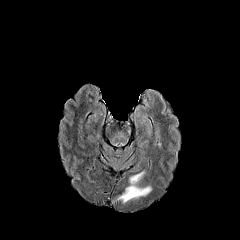
FLAIR magnetic resonance.
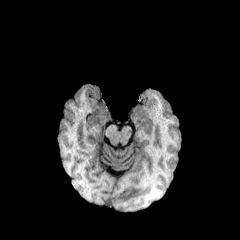
Same slice, T1-weighted MR.
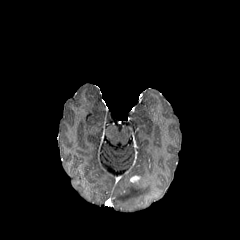
Same slice, post-contrast T1-weighted magnetic resonance.
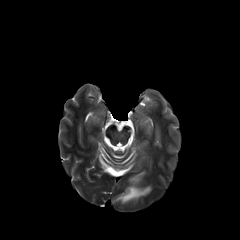
T2-weighted MRI.
Brain, 240x240 px
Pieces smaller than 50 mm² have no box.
enhancing tumor: x1=130 y1=175 x2=140 y2=183 | peritumoral edema: x1=115 y1=182 x2=151 y2=203